FLAIR MR.
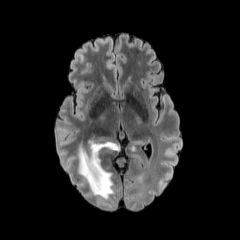
T1-weighted MR image.
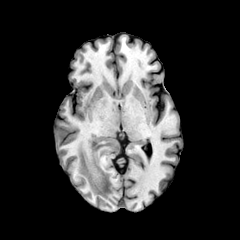
Post-contrast T1-weighted MRI.
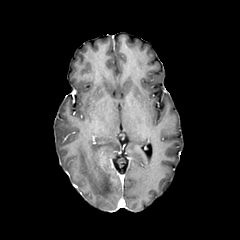
T2-weighted MR.
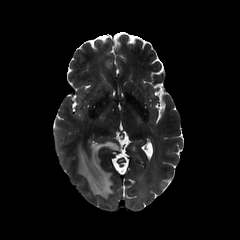
240x240; Brain; Axial slice
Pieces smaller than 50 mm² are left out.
peritumoral edema: <bbox>78, 141, 119, 199</bbox>